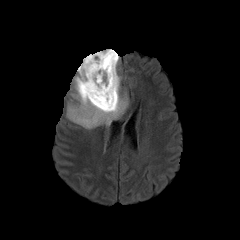
FLAIR MR image.
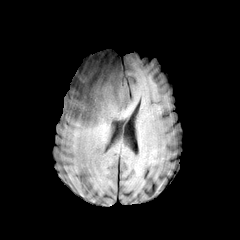
T1-weighted MR.
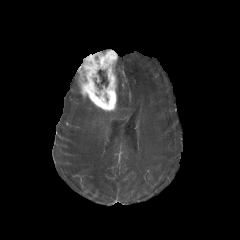
Post-contrast T1-weighted MR image.
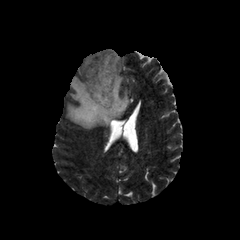
Same slice, T2-weighted MRI.
240x240; Axial plane
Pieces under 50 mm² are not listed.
enhancing tumor at <box>77,49,117,111</box>
necrotic tumor core at <box>95,69,108,88</box>
peritumoral edema at <box>66,56,128,129</box>